Axial view
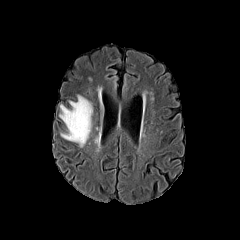
FLAIR magnetic resonance.
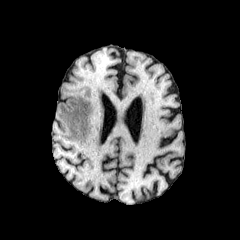
T1-weighted magnetic resonance.
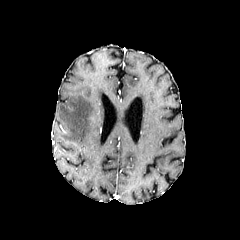
Post-contrast T1-weighted MR.
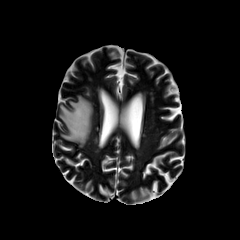
T2-weighted MR.
peritumoral edema at l=59, t=95, r=93, b=147